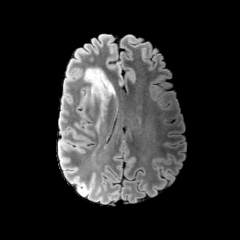
FLAIR MR.
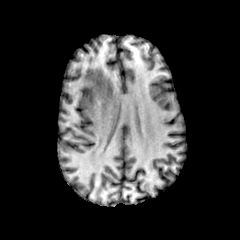
T1-weighted MRI.
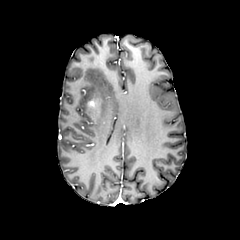
Post-contrast T1-weighted MR of the same slice.
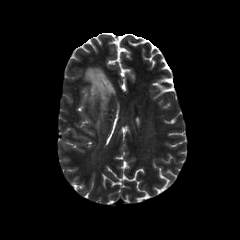
T2-weighted magnetic resonance.
Segmented structures:
- peritumoral edema: (left=81, top=67, right=115, bottom=131)
- enhancing tumor: (left=87, top=94, right=103, bottom=121)